240x240, Brain, Axial slice
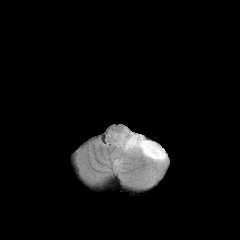
FLAIR MR image.
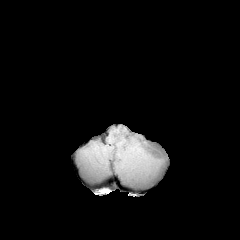
Same slice, T1-weighted MRI.
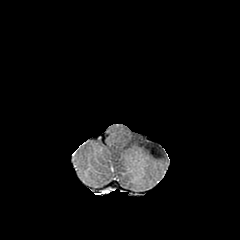
Post-contrast T1-weighted MRI of the same slice.
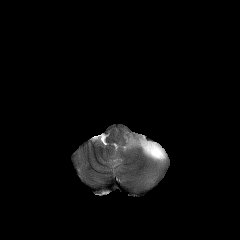
T2-weighted MR image.
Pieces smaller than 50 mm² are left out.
{"peritumoral_edema": ["box=[111, 129, 167, 184]"]}